FLAIR MR.
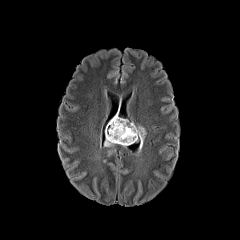
T1-weighted MR image.
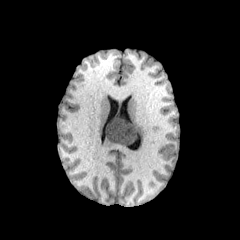
Post-contrast T1-weighted MR.
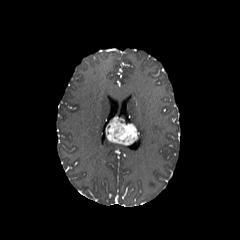
T2-weighted MRI.
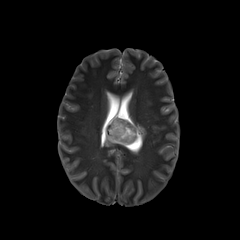
Axial view | Head | Image size 240x240
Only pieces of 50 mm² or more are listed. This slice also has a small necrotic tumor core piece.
2 peritumoral edema regions appear at 136, 126, 146, 149; 104, 138, 114, 146. The enhancing tumor lies within 106, 116, 139, 145.